FLAIR MR.
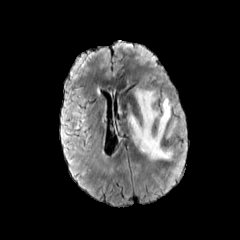
T1-weighted MR image.
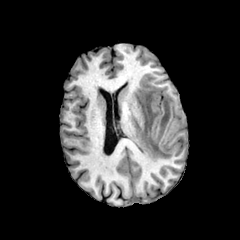
Post-contrast T1-weighted MR image.
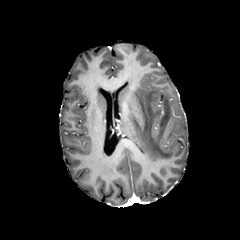
T2-weighted MRI.
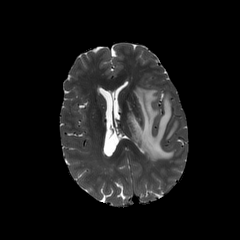
Brain; Axial slice
2 peritumoral edema regions are located at [166, 121, 177, 138], [128, 87, 173, 160].